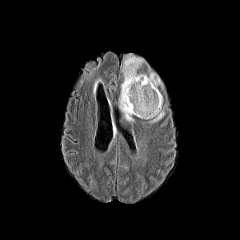
FLAIR MR.
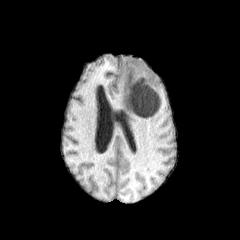
T1-weighted magnetic resonance.
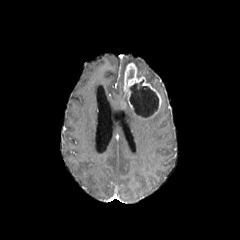
Post-contrast T1-weighted MR image of the same slice.
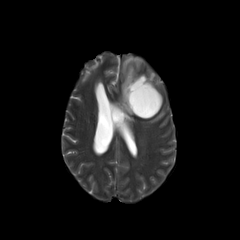
Same slice, T2-weighted MR.
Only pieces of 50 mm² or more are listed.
The 4 largest peritumoral edema regions are bounded by rect(137, 72, 162, 101); rect(119, 82, 133, 121); rect(150, 111, 164, 122); rect(122, 56, 142, 73). The largest enhancing tumor region lies within rect(123, 63, 161, 119). The largest necrotic tumor core region lies within rect(129, 80, 158, 118).